Image width 240 mm, 1.00 mm slice spacing
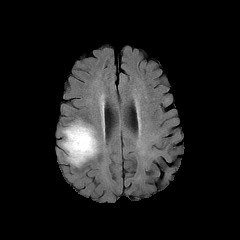
FLAIR MR.
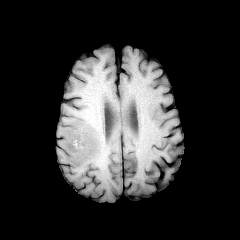
T1-weighted MRI.
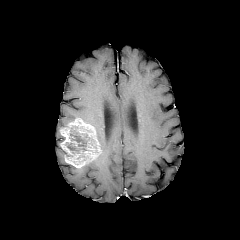
Post-contrast T1-weighted magnetic resonance.
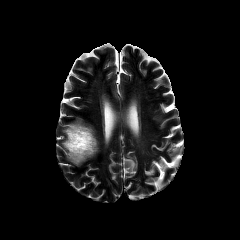
T2-weighted magnetic resonance of the same slice.
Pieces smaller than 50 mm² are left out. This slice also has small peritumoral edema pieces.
Findings:
- necrotic tumor core: region(66, 128, 92, 154)
- enhancing tumor: region(60, 118, 100, 167)